FLAIR magnetic resonance.
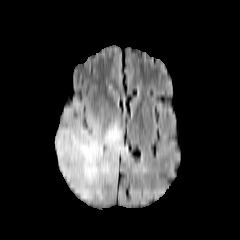
T1-weighted magnetic resonance.
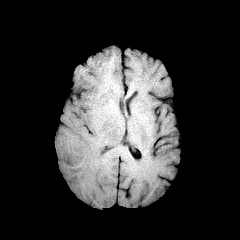
Post-contrast T1-weighted magnetic resonance.
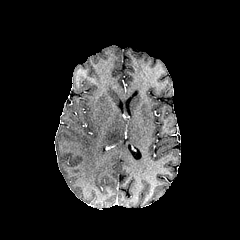
T2-weighted MR.
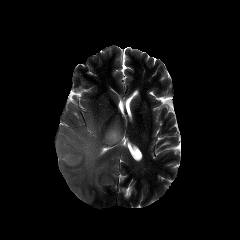
Head; Axial slice; 240x240
The peritumoral edema is bounded by (55,100,128,201).